Image width 240 mm, 1.00 mm slice spacing, Axial slice, Head
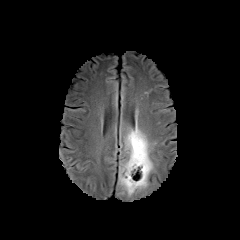
FLAIR MR.
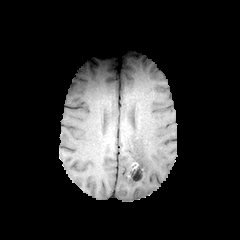
Same slice, T1-weighted MR image.
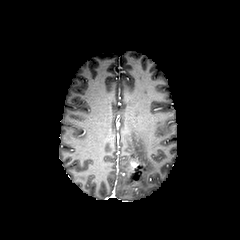
Same slice, post-contrast T1-weighted MR image.
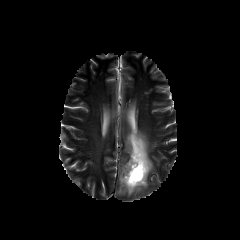
T2-weighted magnetic resonance of the same slice.
The enhancing tumor lies within (130,161,144,182). The peritumoral edema is located at (119,128,153,195). The necrotic tumor core is located at (131,166,142,180).